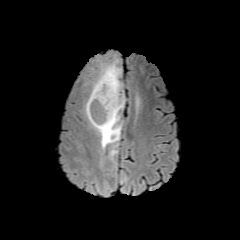
FLAIR magnetic resonance.
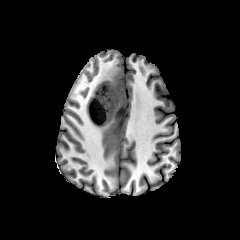
Same slice, T1-weighted MRI.
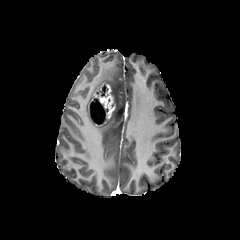
Post-contrast T1-weighted MRI.
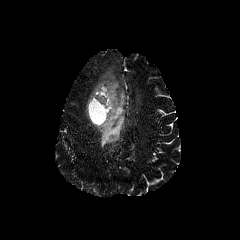
T2-weighted MR.
Brain
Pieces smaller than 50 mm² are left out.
The largest peritumoral edema region is bounded by [85,60,125,155]. The 2 largest necrotic tumor core regions appear at [97,85,105,96], [90,98,105,125]. The enhancing tumor appears at [89,83,115,126].